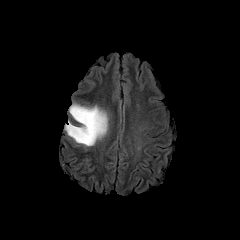
FLAIR magnetic resonance.
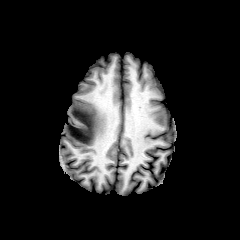
T1-weighted MR of the same slice.
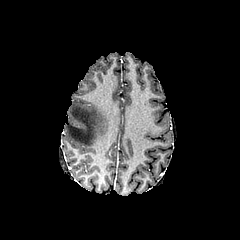
Post-contrast T1-weighted MRI of the same slice.
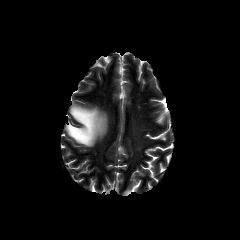
T2-weighted MR image of the same slice.
240x240, Axial view, Brain
The peritumoral edema is located at [65,104,108,146].